Axial slice, Brain
FLAIR MRI.
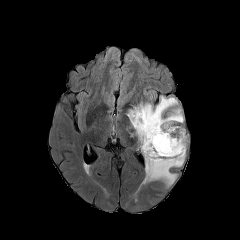
T1-weighted MR image.
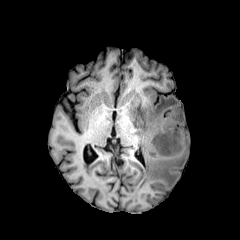
Post-contrast T1-weighted MRI.
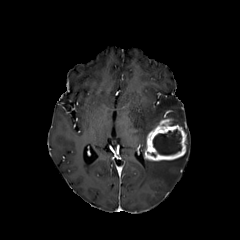
T2-weighted magnetic resonance.
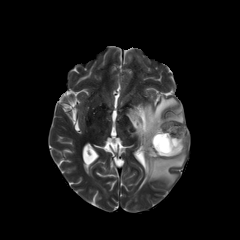
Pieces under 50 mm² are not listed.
The 2 largest peritumoral edema regions are bounded by bbox(143, 153, 185, 186); bbox(127, 96, 183, 154). The enhancing tumor is at bbox(144, 118, 187, 160). The largest necrotic tumor core region lies within bbox(153, 130, 181, 155).